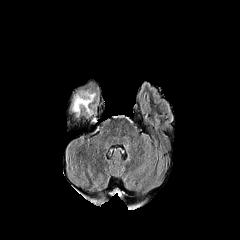
FLAIR MR image.
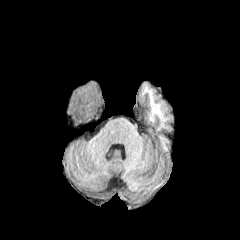
T1-weighted MR.
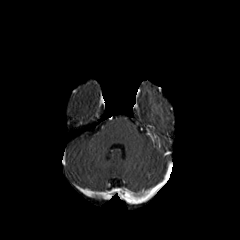
Post-contrast T1-weighted magnetic resonance.
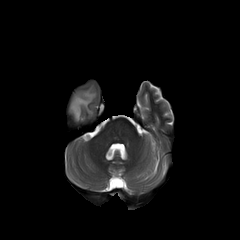
T2-weighted MR image.
Axial plane; Image size 240x240
{"peritumoral_edema": ["(71,91,95,117)"]}